FLAIR MR.
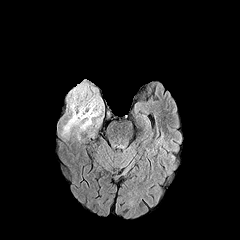
T1-weighted magnetic resonance.
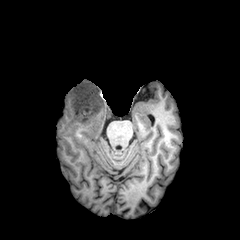
Post-contrast T1-weighted MR.
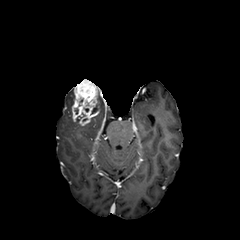
T2-weighted MR image.
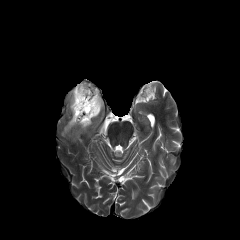
Head; 240x240 px
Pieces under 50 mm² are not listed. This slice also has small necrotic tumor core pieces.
peritumoral edema: (62, 95, 103, 139), (67, 89, 74, 112) | enhancing tumor: (72, 79, 99, 125)